FLAIR MRI.
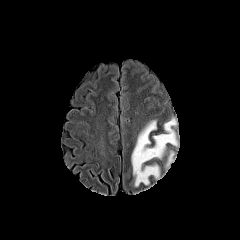
T1-weighted magnetic resonance.
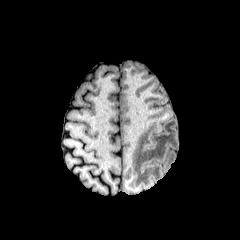
Post-contrast T1-weighted MR image.
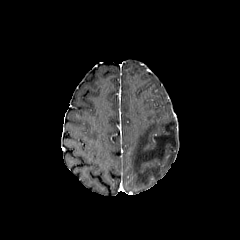
T2-weighted magnetic resonance.
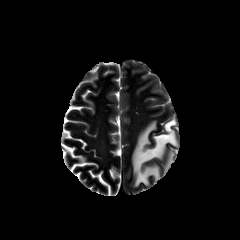
Head; Axial plane
peritumoral_edema:
  - 131:118:177:186
  - 165:151:174:171